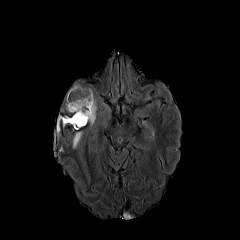
FLAIR MRI.
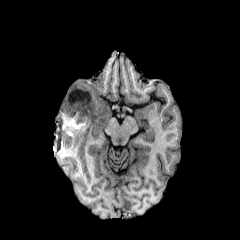
Same slice, T1-weighted magnetic resonance.
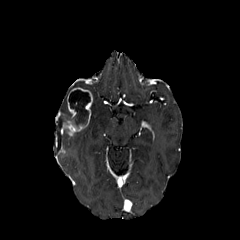
Post-contrast T1-weighted MR image.
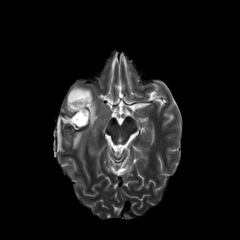
T2-weighted MR image.
Head
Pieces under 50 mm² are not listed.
peritumoral edema = (57, 115, 66, 132), (72, 131, 83, 148), (84, 88, 97, 128)
enhancing tumor = (63, 87, 92, 135)
necrotic tumor core = (63, 90, 90, 126)